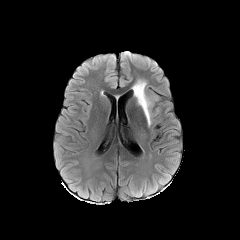
FLAIR MR.
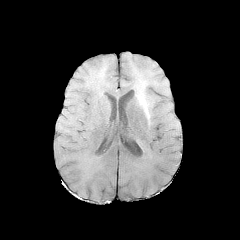
T1-weighted magnetic resonance.
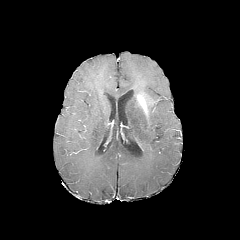
Post-contrast T1-weighted MR.
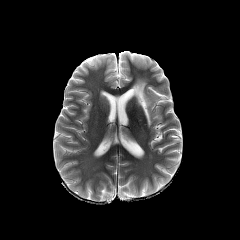
T2-weighted MR image of the same slice.
240x240.
Segmented structures:
* enhancing tumor: [137,93,154,116]
* peritumoral edema: [132,80,148,98], [146,105,152,126]